Image size 240x240. Head.
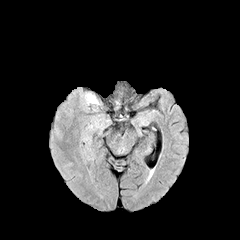
FLAIR MR.
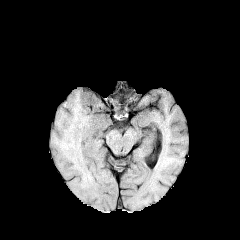
Same slice, T1-weighted MR image.
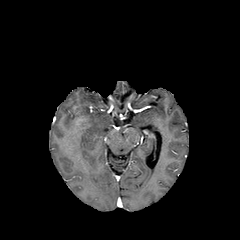
Same slice, post-contrast T1-weighted magnetic resonance.
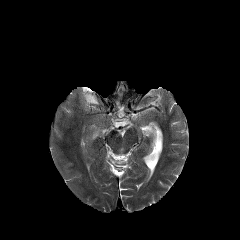
T2-weighted MR image.
peritumoral edema: bounding box (85, 94, 98, 104)